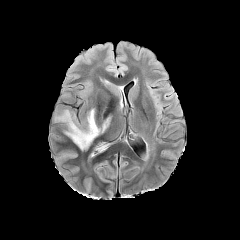
FLAIR MR.
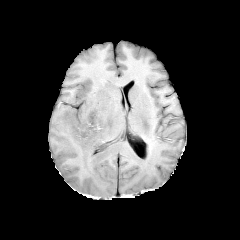
T1-weighted magnetic resonance of the same slice.
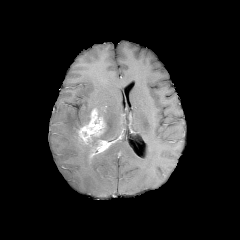
Same slice, post-contrast T1-weighted MR image.
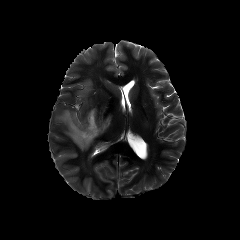
T2-weighted MR.
Axial plane. Head. 240x240 px.
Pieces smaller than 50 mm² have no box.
<segmentation>
  <peritumoral_edema>(left=55, top=108, right=97, bottom=150), (left=104, top=117, right=110, bottom=131)</peritumoral_edema>
  <enhancing_tumor>(left=90, top=141, right=109, bottom=156), (left=78, top=109, right=104, bottom=144)</enhancing_tumor>
</segmentation>